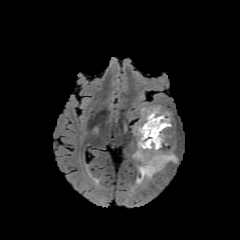
FLAIR MR.
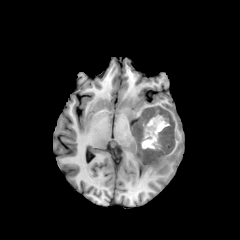
T1-weighted MR image.
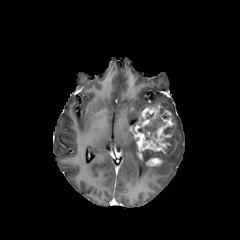
Post-contrast T1-weighted magnetic resonance.
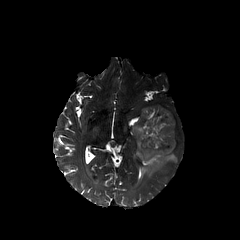
T2-weighted MR image.
Axial plane
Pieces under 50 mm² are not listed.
Findings:
• necrotic tumor core: 163 126 172 145, 142 149 162 161, 138 108 169 142
• peritumoral edema: 137 145 177 183
• enhancing tumor: 132 105 174 166